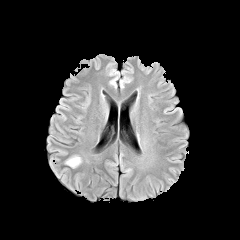
FLAIR MR.
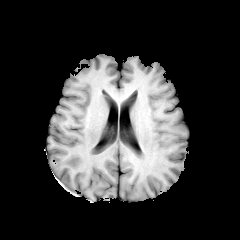
T1-weighted MR.
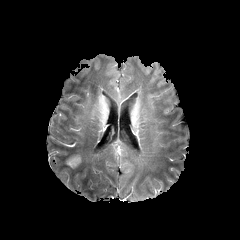
Post-contrast T1-weighted magnetic resonance.
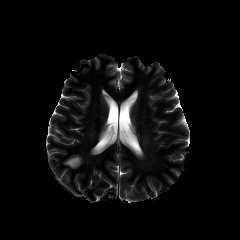
T2-weighted MR image.
Axial plane, Head
Annotated regions:
* peritumoral edema: 65 154 81 168
* enhancing tumor: 68 158 78 165